FLAIR MR.
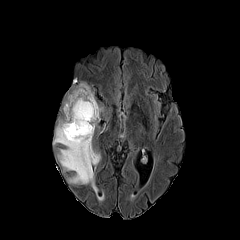
T1-weighted MR.
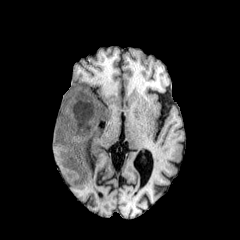
Post-contrast T1-weighted magnetic resonance.
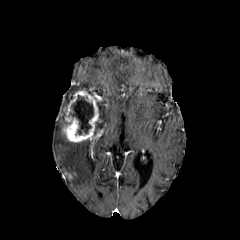
T2-weighted MR image.
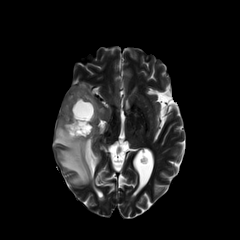
Head
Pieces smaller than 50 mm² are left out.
necrotic tumor core: [70,94,93,134]
enhancing tumor: [62,89,99,142]
peritumoral edema: [73,83,92,92], [53,120,103,199]